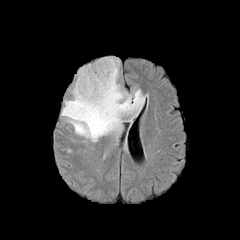
FLAIR MR image.
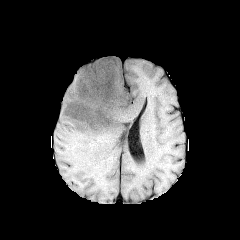
T1-weighted magnetic resonance.
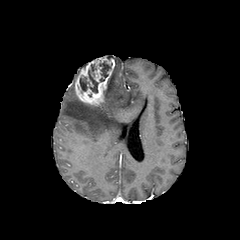
Same slice, post-contrast T1-weighted MR.
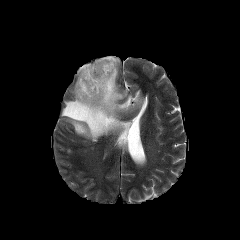
T2-weighted magnetic resonance of the same slice.
Image size 240x240. Brain.
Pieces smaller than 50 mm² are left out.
enhancing tumor — 75 56 115 106
peritumoral edema — 61 57 144 142
necrotic tumor core — 88 64 98 93, 80 77 89 91, 99 61 112 81